FLAIR magnetic resonance.
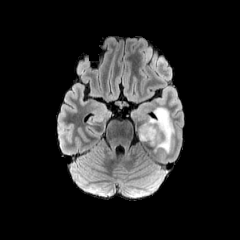
T1-weighted MRI.
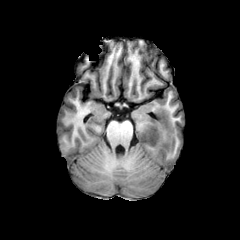
Post-contrast T1-weighted MR.
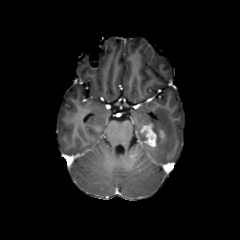
T2-weighted MR image.
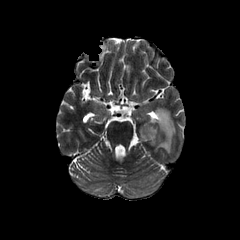
Brain; 240x240
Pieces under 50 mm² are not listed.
peritumoral_edema:
  - region(137, 107, 174, 152)
enhancing_tumor:
  - region(140, 124, 157, 146)